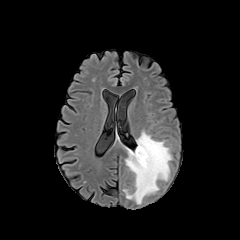
FLAIR magnetic resonance.
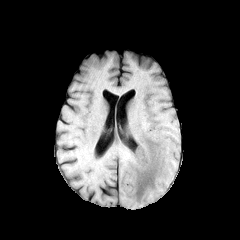
T1-weighted MR of the same slice.
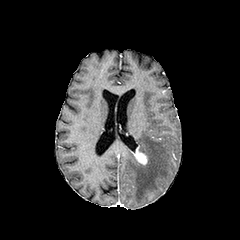
Post-contrast T1-weighted MR of the same slice.
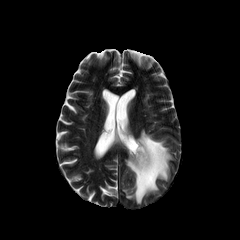
Same slice, T2-weighted MR image.
Brain | 240x240 px | Axial plane
The enhancing tumor appears at x1=132 y1=146 x2=147 y2=165. The peritumoral edema lies within x1=123 y1=130 x2=172 y2=204.